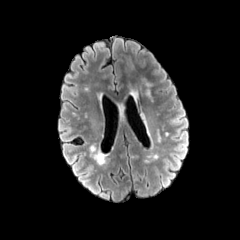
FLAIR MR image.
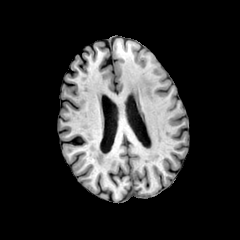
Same slice, T1-weighted MRI.
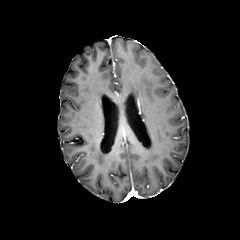
Post-contrast T1-weighted magnetic resonance.
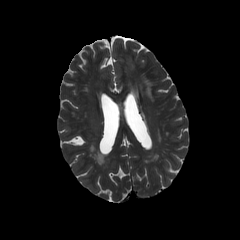
Same slice, T2-weighted magnetic resonance.
Brain
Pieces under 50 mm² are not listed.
The largest peritumoral edema region is at left=144, top=80, right=151, bottom=98.